FLAIR magnetic resonance.
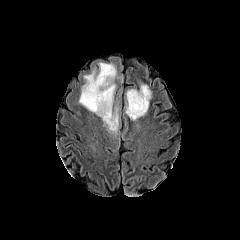
T1-weighted MR image.
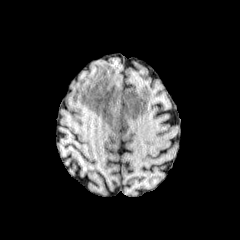
Post-contrast T1-weighted MRI.
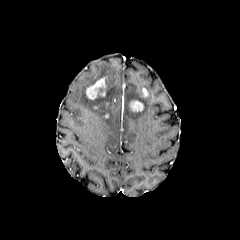
T2-weighted magnetic resonance.
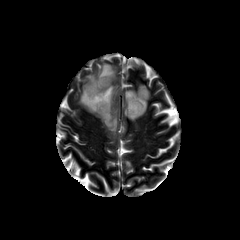
Brain
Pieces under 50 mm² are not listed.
peritumoral_edema:
  - x1=79, y1=63, x2=118, y2=134
  - x1=125, y1=84, x2=151, y2=120
enhancing_tumor:
  - x1=141, y1=88, x2=148, y2=97
  - x1=86, y1=76, x2=107, y2=99
  - x1=130, y1=100, x2=143, y2=111
necrotic_tumor_core:
  - x1=95, y1=101, x2=107, y2=110